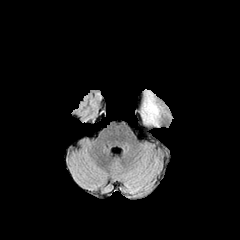
FLAIR MRI.
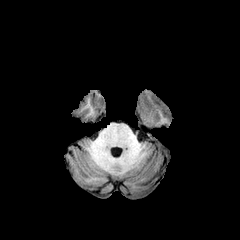
T1-weighted MRI of the same slice.
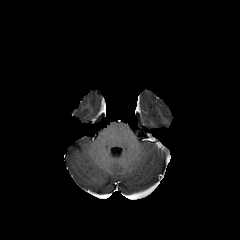
Same slice, post-contrast T1-weighted MR image.
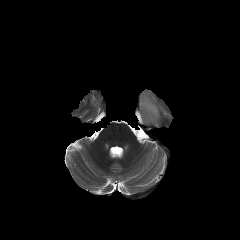
T2-weighted MR image.
240x240 | Axial plane | Head
The peritumoral edema is located at [141, 91, 159, 126].